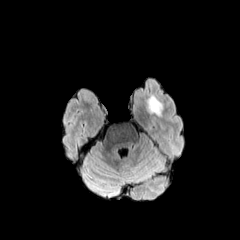
FLAIR MRI.
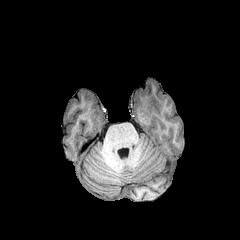
T1-weighted MR image of the same slice.
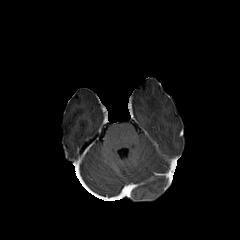
Same slice, post-contrast T1-weighted magnetic resonance.
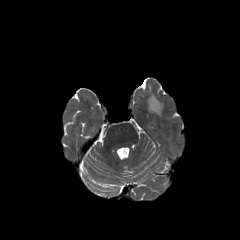
T2-weighted MR.
Axial view; Brain
Findings:
- peritumoral edema: 148 95 162 115